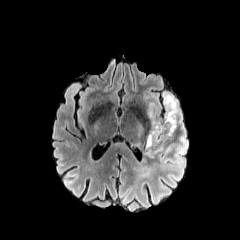
FLAIR MR image.
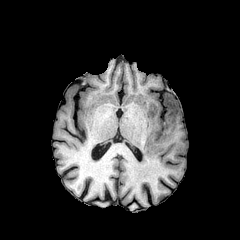
T1-weighted MR.
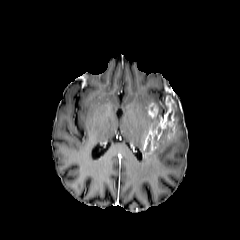
Post-contrast T1-weighted magnetic resonance.
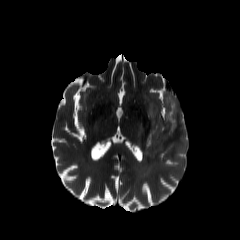
T2-weighted MR.
240x240
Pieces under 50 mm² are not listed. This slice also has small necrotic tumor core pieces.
The largest peritumoral edema region is located at bbox(143, 90, 188, 173). The enhancing tumor appears at bbox(144, 95, 176, 154).